FLAIR MRI.
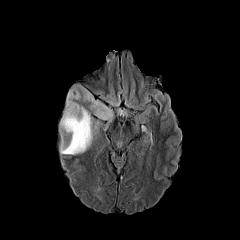
T1-weighted MR.
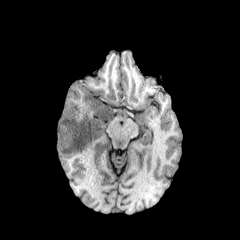
Post-contrast T1-weighted MR.
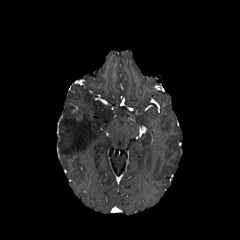
T2-weighted MRI.
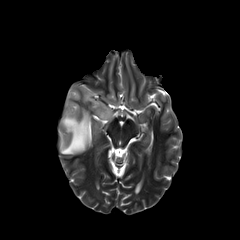
Head
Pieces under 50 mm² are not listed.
<segmentation>
  <peritumoral_edema>[60, 87, 93, 154], [81, 88, 112, 120]</peritumoral_edema>
</segmentation>